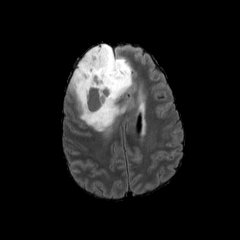
FLAIR MRI.
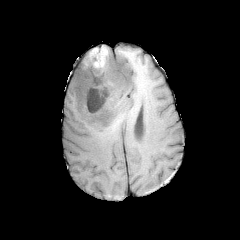
T1-weighted MR image of the same slice.
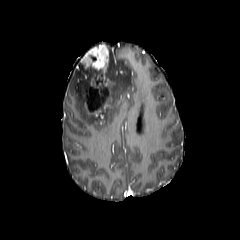
Post-contrast T1-weighted MR.
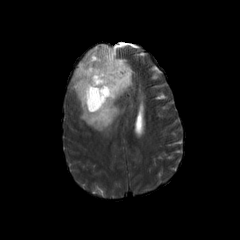
T2-weighted MR.
Brain
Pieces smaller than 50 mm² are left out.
enhancing_tumor:
  - left=100, top=114, right=105, bottom=124
  - left=81, top=45, right=108, bottom=79
  - left=85, top=79, right=115, bottom=117
necrotic_tumor_core:
  - left=87, top=87, right=108, bottom=111
peritumoral_edema:
  - left=68, top=44, right=132, bottom=133